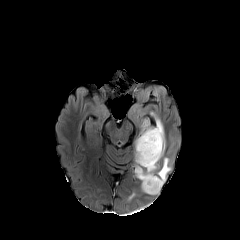
FLAIR MRI.
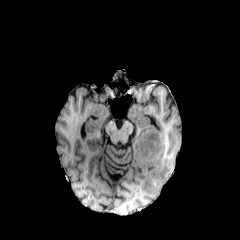
T1-weighted MRI of the same slice.
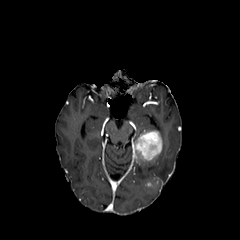
Post-contrast T1-weighted MRI.
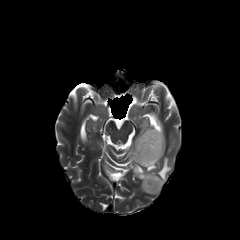
T2-weighted MR.
Axial view. Head.
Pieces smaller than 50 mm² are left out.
enhancing tumor at 134,130,162,164; 145,177,159,191
peritumoral edema at 157,158,170,183; 135,118,165,194